Image width 240 mm. Axial plane. Slice 101 of 155.
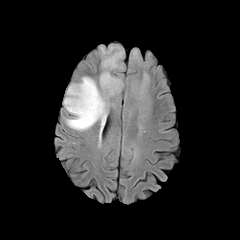
FLAIR MR image.
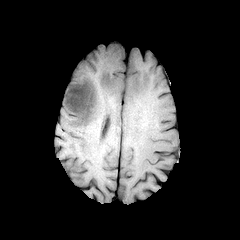
T1-weighted MR image.
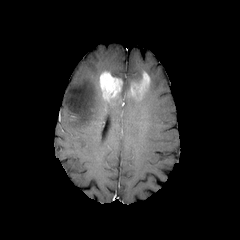
Post-contrast T1-weighted MRI.
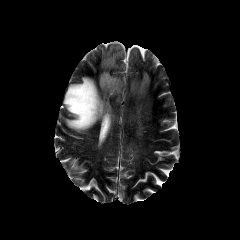
T2-weighted MRI.
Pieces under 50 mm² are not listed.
Segmented structures:
• peritumoral edema: l=100, t=45, r=123, b=71; l=63, t=76, r=109, b=131
• enhancing tumor: l=99, t=71, r=122, b=100; l=130, t=72, r=149, b=96